Head | Slice 75 of 155 | Image size 240x240
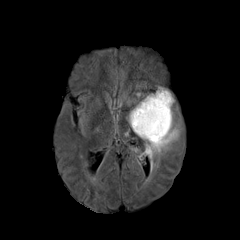
FLAIR MRI.
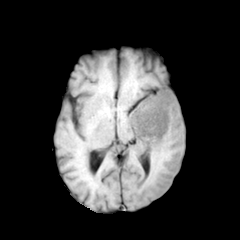
Same slice, T1-weighted MR.
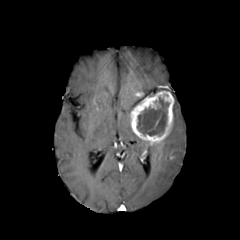
Post-contrast T1-weighted magnetic resonance.
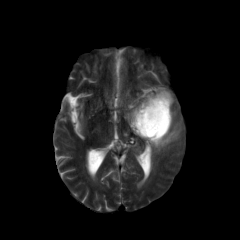
Same slice, T2-weighted MR.
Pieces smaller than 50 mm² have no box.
necrotic tumor core at {"x1": 137, "y1": 97, "x2": 169, "y2": 135}
peritumoral edema at {"x1": 145, "y1": 121, "x2": 180, "y2": 170}
enhancing tumor at {"x1": 130, "y1": 91, "x2": 173, "y2": 145}